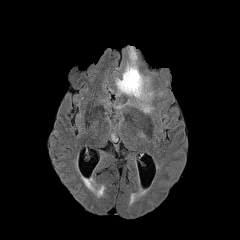
FLAIR MR image.
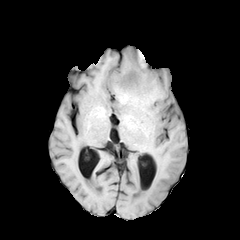
Same slice, T1-weighted magnetic resonance.
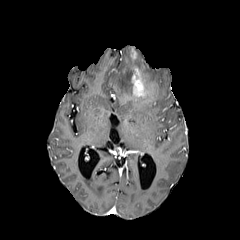
Post-contrast T1-weighted magnetic resonance.
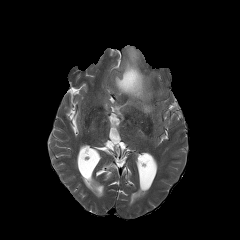
T2-weighted MRI.
Head. 240x240 px. Axial slice.
enhancing tumor: bbox(131, 48, 136, 59); bbox(131, 67, 147, 96)
peritumoral edema: bbox(116, 47, 152, 112)